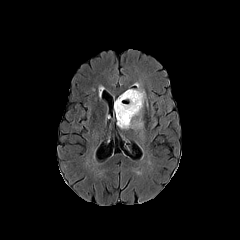
FLAIR MR.
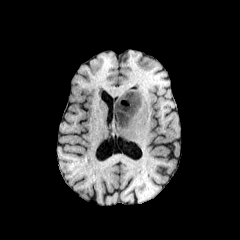
T1-weighted magnetic resonance.
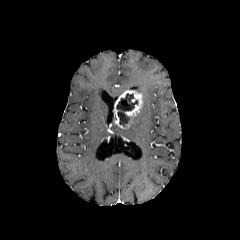
Same slice, post-contrast T1-weighted MR.
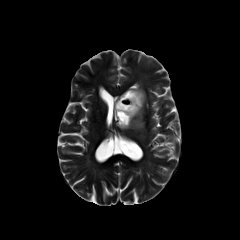
Same slice, T2-weighted MR image.
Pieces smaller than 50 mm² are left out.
peritumoral edema = 130,108,143,129; 134,82,145,103
enhancing tumor = 114,90,142,128
necrotic tumor core = 116,93,138,126